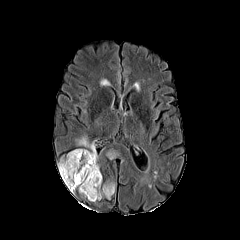
FLAIR magnetic resonance.
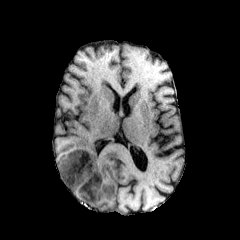
T1-weighted MR of the same slice.
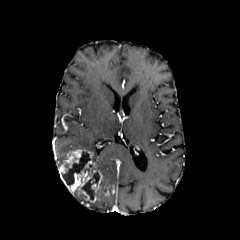
Post-contrast T1-weighted magnetic resonance.
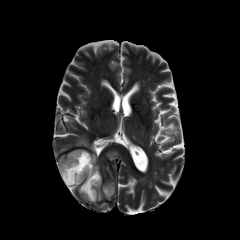
T2-weighted MR.
240x240 px.
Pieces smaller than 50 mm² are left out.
The largest enhancing tumor region is at left=58, top=149, right=110, bottom=202. The 2 largest necrotic tumor core regions are bounded by left=62, top=151, right=90, bottom=185; left=81, top=172, right=99, bottom=199. The 3 largest peritumoral edema regions appear at left=104, top=181, right=116, bottom=192; left=105, top=149, right=116, bottom=159; left=77, top=137, right=99, bottom=169.